FLAIR MR image.
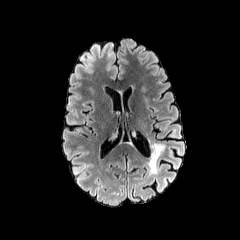
T1-weighted magnetic resonance.
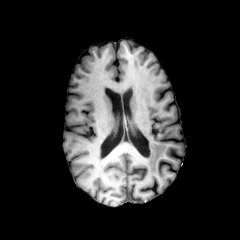
Post-contrast T1-weighted MR.
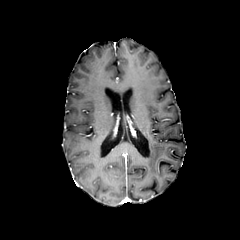
T2-weighted MR.
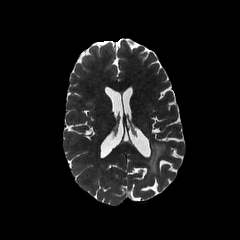
Brain. Axial plane.
The peritumoral edema is bounded by [x1=148, y1=143, x2=164, y2=172].